FLAIR MR image.
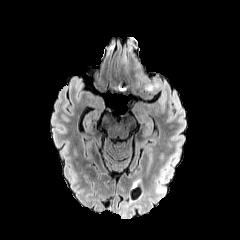
T1-weighted MRI.
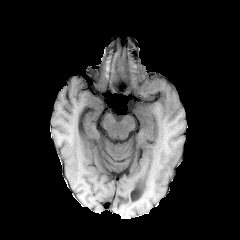
Post-contrast T1-weighted MR image.
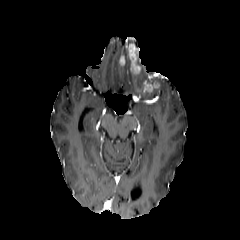
T2-weighted magnetic resonance.
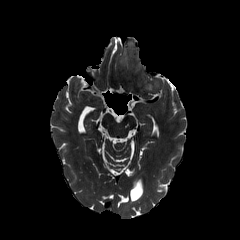
Axial slice
enhancing tumor at left=143, top=80, right=159, bottom=92; left=126, top=37, right=140, bottom=74; left=120, top=49, right=128, bottom=65